FLAIR MR.
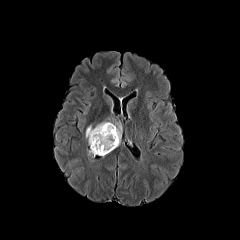
T1-weighted magnetic resonance.
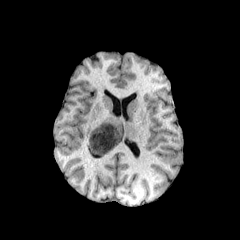
Post-contrast T1-weighted MRI.
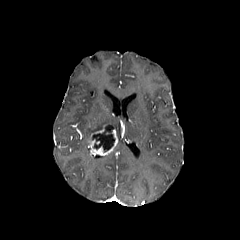
T2-weighted MR image.
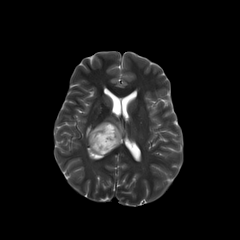
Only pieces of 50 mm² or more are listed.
<segmentation>
  <enhancing_tumor>region(88, 124, 118, 155)</enhancing_tumor>
  <peritumoral_edema>region(86, 121, 120, 146)</peritumoral_edema>
  <necrotic_tumor_core>region(91, 126, 114, 151)</necrotic_tumor_core>
</segmentation>